Image size 240x240.
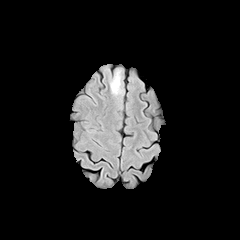
FLAIR MR.
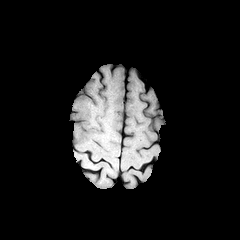
T1-weighted MR.
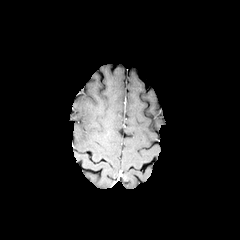
Post-contrast T1-weighted MR image.
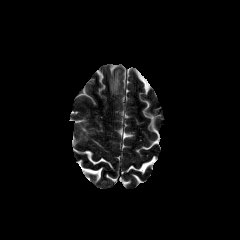
T2-weighted MR of the same slice.
peritumoral edema = box=[110, 70, 121, 94]